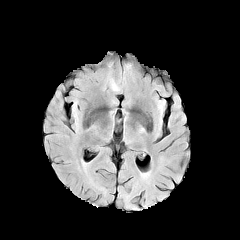
FLAIR magnetic resonance.
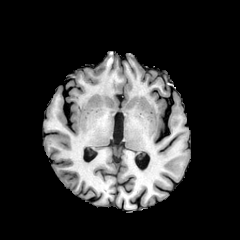
T1-weighted MRI.
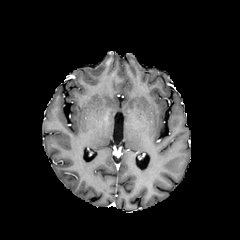
Post-contrast T1-weighted MRI of the same slice.
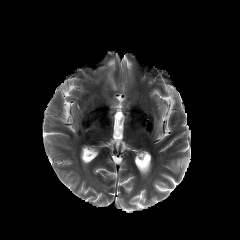
Same slice, T2-weighted MRI.
Brain.
The peritumoral edema appears at <box>109,78,118,90</box>.